FLAIR MR.
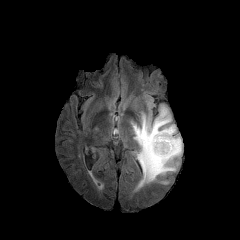
T1-weighted MR image.
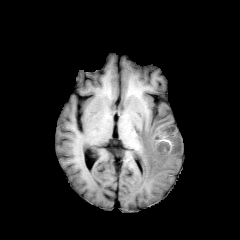
Post-contrast T1-weighted MR image.
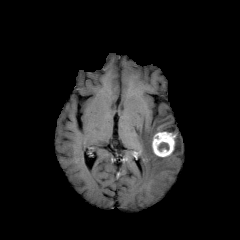
T2-weighted magnetic resonance.
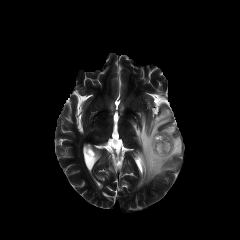
Head. 240x240.
peritumoral_edema:
  - {"x1": 132, "y1": 105, "x2": 182, "y2": 187}
enhancing_tumor:
  - {"x1": 152, "y1": 132, "x2": 176, "y2": 157}
necrotic_tumor_core:
  - {"x1": 159, "y1": 142, "x2": 168, "y2": 149}